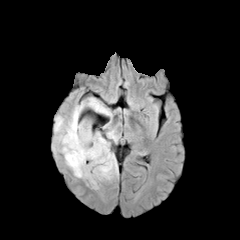
FLAIR magnetic resonance.
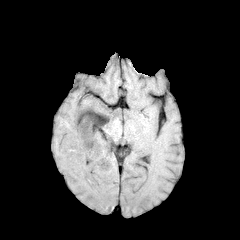
T1-weighted magnetic resonance.
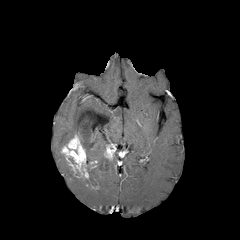
Post-contrast T1-weighted MR.
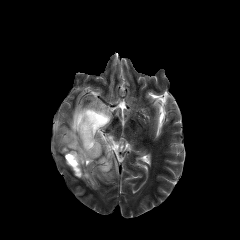
T2-weighted magnetic resonance.
Brain.
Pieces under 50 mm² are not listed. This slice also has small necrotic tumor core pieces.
The 2 largest enhancing tumor regions are located at {"x1": 103, "y1": 143, "x2": 115, "y2": 160}, {"x1": 61, "y1": 134, "x2": 98, "y2": 179}. The 2 largest peritumoral edema regions are located at {"x1": 106, "y1": 130, "x2": 119, "y2": 144}, {"x1": 54, "y1": 97, "x2": 118, "y2": 189}.